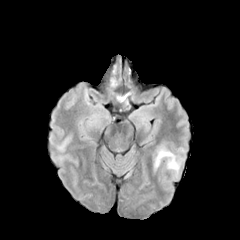
FLAIR MRI.
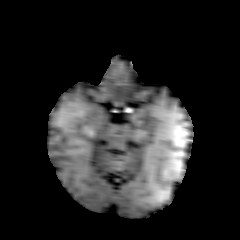
T1-weighted MR image.
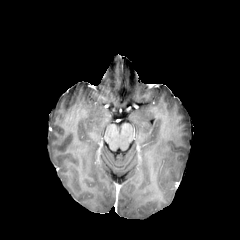
Same slice, post-contrast T1-weighted MR.
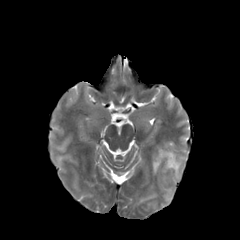
T2-weighted MR.
240x240; Brain
{"peritumoral_edema": ["(154,147,178,171)"]}